Slice 46 of 155, 240x240
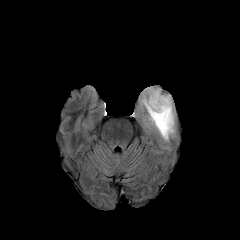
FLAIR MR image.
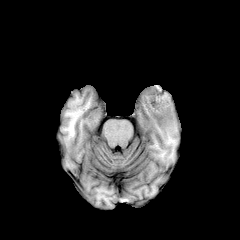
T1-weighted MRI of the same slice.
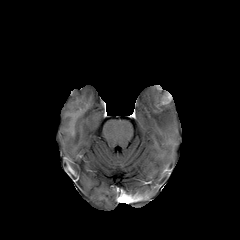
Post-contrast T1-weighted MR.
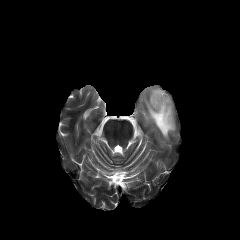
T2-weighted MRI of the same slice.
peritumoral edema = (left=140, top=86, right=174, bottom=140)
enhancing tumor = (left=160, top=93, right=171, bottom=104)